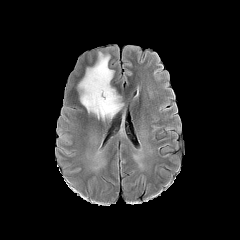
FLAIR MR image.
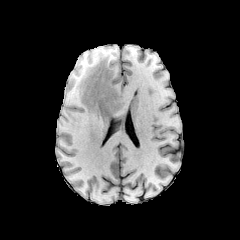
T1-weighted magnetic resonance.
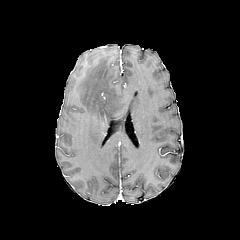
Post-contrast T1-weighted magnetic resonance.
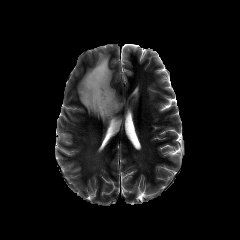
T2-weighted MR image of the same slice.
240x240 | Axial slice
{
  "peritumoral_edema": [
    "78,53,123,120"
  ]
}